240x240, Head, Axial slice, Slice index 61
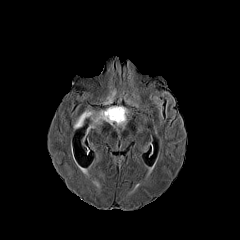
FLAIR MRI.
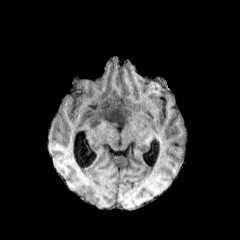
T1-weighted MR.
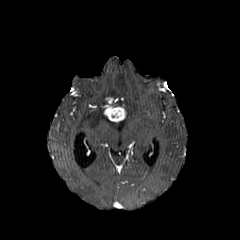
Post-contrast T1-weighted magnetic resonance of the same slice.
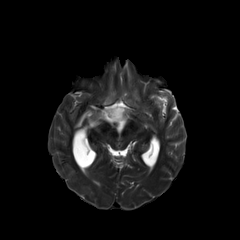
T2-weighted MRI.
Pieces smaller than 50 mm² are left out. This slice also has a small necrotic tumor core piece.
Findings:
• peritumoral edema: bbox(74, 110, 114, 128); bbox(116, 108, 128, 127)
• enhancing tumor: bbox(104, 97, 125, 122)